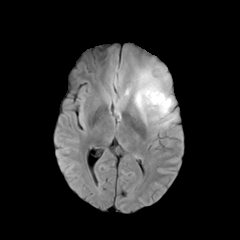
FLAIR MR image.
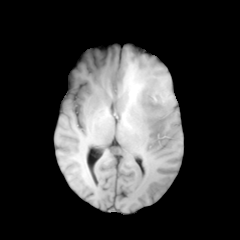
T1-weighted MR.
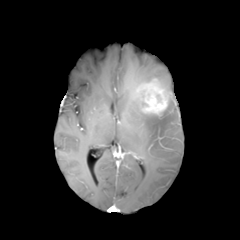
Post-contrast T1-weighted magnetic resonance.
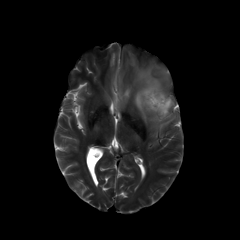
T2-weighted MR image.
Axial slice
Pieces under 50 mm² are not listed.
Segmented structures:
* enhancing tumor: box=[141, 79, 167, 114]
* peritumoral edema: box=[135, 67, 176, 127]